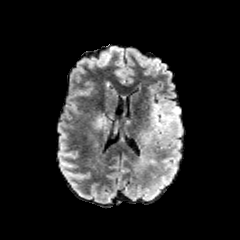
FLAIR MRI.
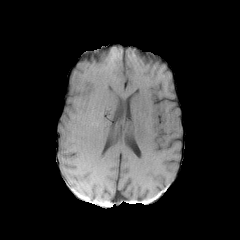
T1-weighted MR image.
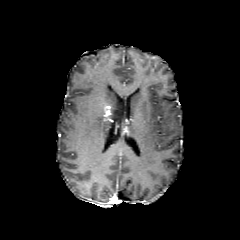
Post-contrast T1-weighted magnetic resonance of the same slice.
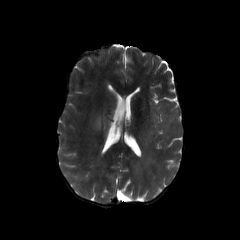
T2-weighted MR of the same slice.
Axial view | Head
- peritumoral edema: 135 103 182 172, 95 114 109 129
- enhancing tumor: 103 105 111 120